FLAIR MR.
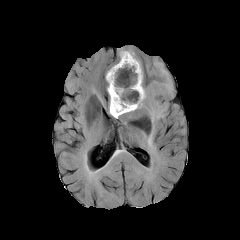
T1-weighted MR.
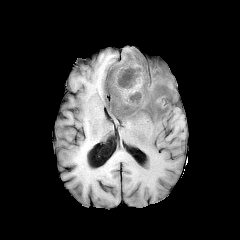
Post-contrast T1-weighted MRI.
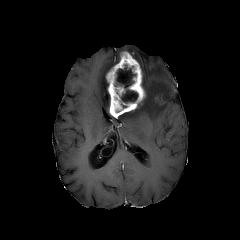
T2-weighted MR.
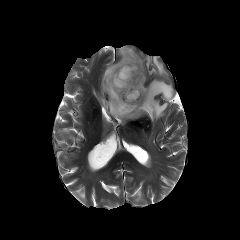
Axial plane, Image size 240x240
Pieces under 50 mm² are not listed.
- necrotic tumor core: 121, 90, 137, 102; 116, 68, 134, 84
- peritumoral edema: 97, 95, 105, 107; 118, 48, 173, 150
- enhancing tumor: 106, 51, 145, 118